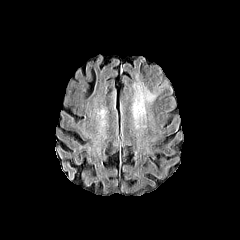
FLAIR MR.
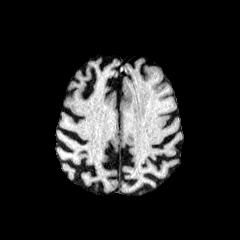
Same slice, T1-weighted MRI.
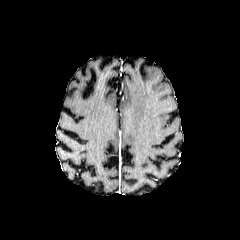
Post-contrast T1-weighted magnetic resonance.
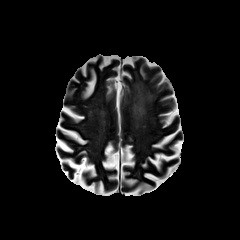
T2-weighted MRI.
The peritumoral edema is at [x1=133, y1=86, x2=154, y2=118].